FLAIR MRI.
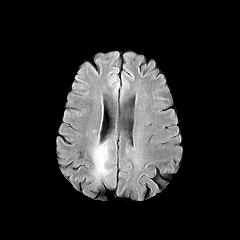
T1-weighted MRI.
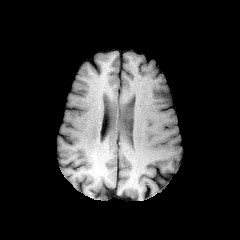
Post-contrast T1-weighted MR.
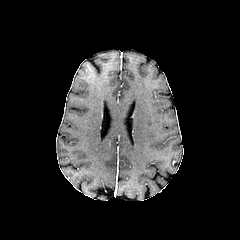
T2-weighted MRI.
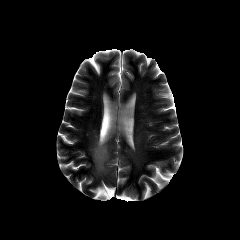
Axial view
The peritumoral edema lies within {"x1": 93, "y1": 146, "x2": 107, "y2": 175}.